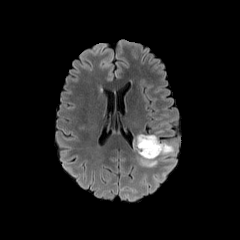
FLAIR magnetic resonance.
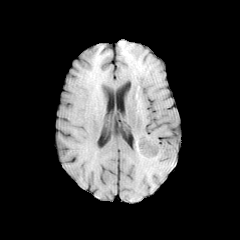
T1-weighted MRI.
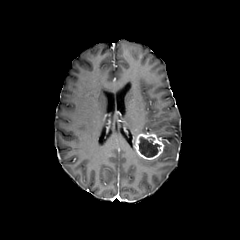
Post-contrast T1-weighted MRI.
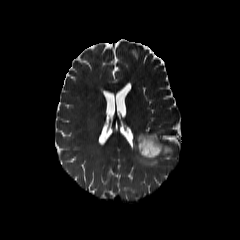
Same slice, T2-weighted MR image.
Axial slice
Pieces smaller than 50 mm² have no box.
The 2 largest peritumoral edema regions are located at [159, 141, 173, 158], [137, 154, 157, 167]. The necrotic tumor core appears at [139, 137, 160, 157]. The enhancing tumor appears at [134, 133, 164, 160].